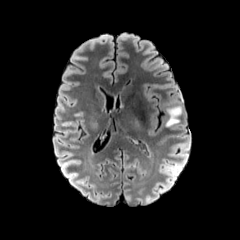
FLAIR magnetic resonance.
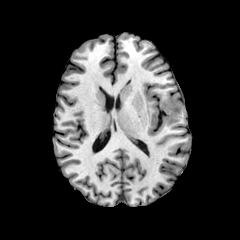
Same slice, T1-weighted MR image.
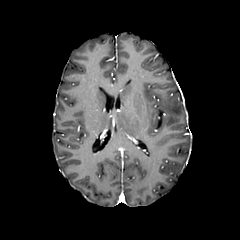
Post-contrast T1-weighted magnetic resonance.
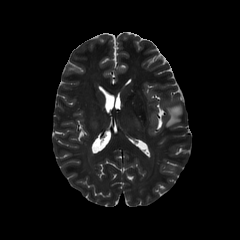
T2-weighted magnetic resonance.
Axial slice. Image size 240x240.
The peritumoral edema is located at 166,105,181,126.